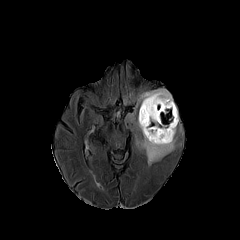
FLAIR MR image.
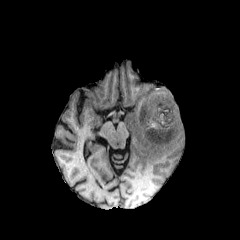
Same slice, T1-weighted magnetic resonance.
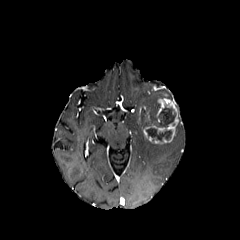
Post-contrast T1-weighted MR.
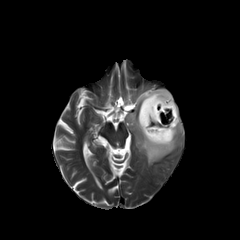
T2-weighted magnetic resonance.
Brain, Axial plane, 240x240
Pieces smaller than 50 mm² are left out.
peritumoral edema — box(136, 89, 176, 165)
enhancing tumor — box(142, 98, 178, 144); box(139, 107, 150, 120)
necrotic tumor core — box(157, 107, 175, 126); box(140, 107, 147, 118); box(146, 128, 171, 140)